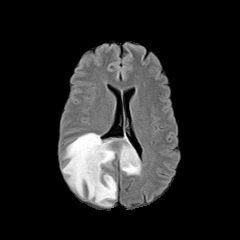
FLAIR MRI.
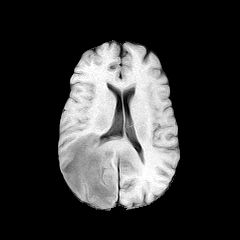
T1-weighted MR image of the same slice.
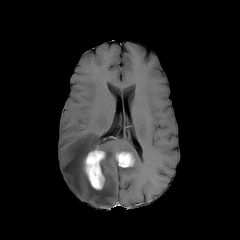
Post-contrast T1-weighted magnetic resonance of the same slice.
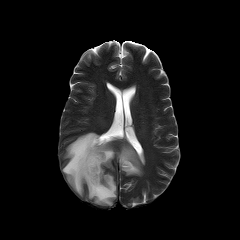
Same slice, T2-weighted magnetic resonance.
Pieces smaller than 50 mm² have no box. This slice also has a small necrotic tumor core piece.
{
  "enhancing_tumor": [
    "[x1=83, y1=147, x2=105, y2=189]",
    "[x1=116, y1=151, x2=134, y2=167]"
  ],
  "peritumoral_edema": [
    "[x1=62, y1=132, x2=141, y2=206]"
  ]
}